FLAIR MR image.
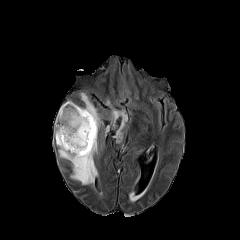
T1-weighted MR.
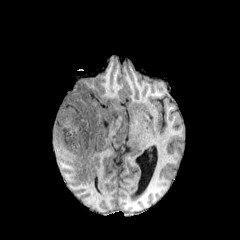
Post-contrast T1-weighted magnetic resonance.
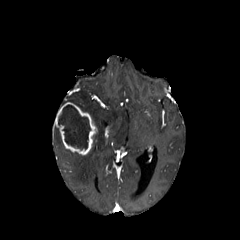
T2-weighted magnetic resonance.
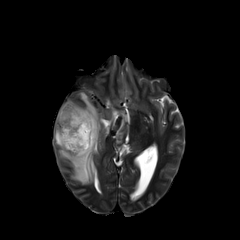
Axial slice. Head.
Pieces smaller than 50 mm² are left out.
The necrotic tumor core appears at rect(58, 104, 91, 150). The enhancing tumor is at rect(54, 102, 97, 155). The 4 largest peritumoral edema regions are located at rect(54, 127, 97, 184); rect(112, 109, 127, 142); rect(80, 92, 102, 128); rect(128, 190, 146, 202).